Axial view; Brain
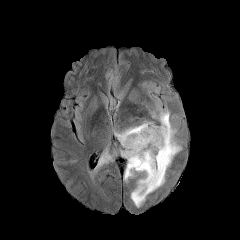
FLAIR MR image.
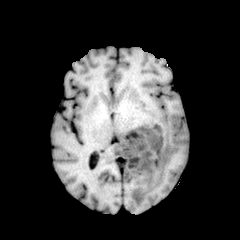
T1-weighted MRI.
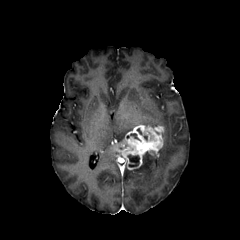
Post-contrast T1-weighted magnetic resonance.
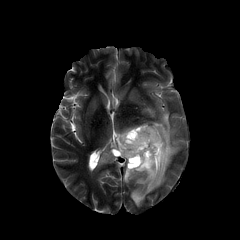
T2-weighted MR.
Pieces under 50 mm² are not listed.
{
  "enhancing_tumor": [
    "<bbox>112, 125, 164, 169</bbox>"
  ],
  "peritumoral_edema": [
    "<bbox>124, 110, 180, 207</bbox>",
    "<bbox>115, 127, 133, 141</bbox>",
    "<bbox>98, 149, 113, 166</bbox>"
  ],
  "necrotic_tumor_core": [
    "<bbox>128, 155, 139, 167</bbox>"
  ]
}